FLAIR MR.
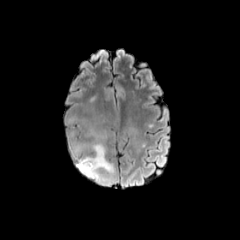
T1-weighted MR image.
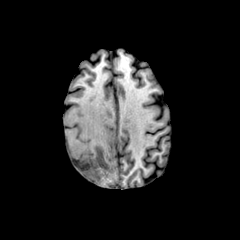
Post-contrast T1-weighted MR image.
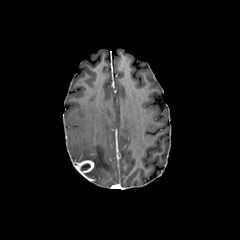
T2-weighted MR image.
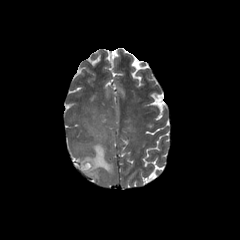
necrotic tumor core at bbox(81, 163, 90, 170)
peritumoral edema at bbox(73, 128, 115, 184)
enhancing tumor at bbox(77, 160, 94, 174)